Axial slice
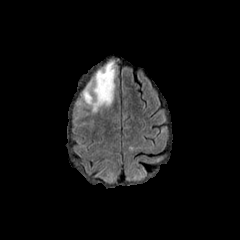
FLAIR magnetic resonance.
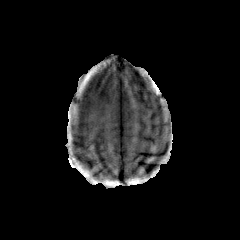
T1-weighted magnetic resonance.
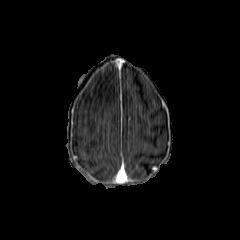
Post-contrast T1-weighted MR image.
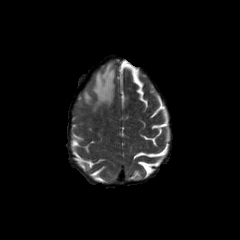
T2-weighted MR of the same slice.
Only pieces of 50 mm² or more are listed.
* peritumoral edema: [83, 61, 115, 112]